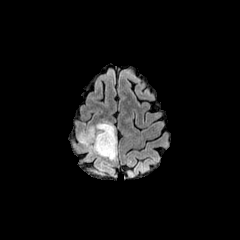
FLAIR magnetic resonance.
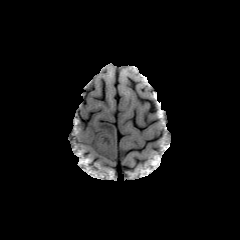
T1-weighted MR image.
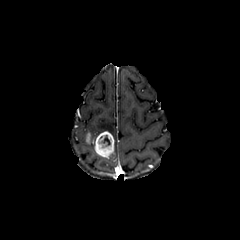
Same slice, post-contrast T1-weighted MRI.
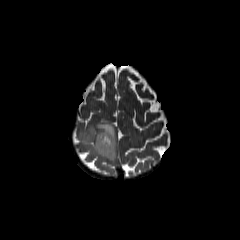
T2-weighted magnetic resonance of the same slice.
Axial slice
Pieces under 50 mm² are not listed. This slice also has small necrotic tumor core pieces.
{
  "peritumoral_edema": [
    "l=88, t=122, r=116, b=159",
    "l=78, t=132, r=97, b=154"
  ],
  "enhancing_tumor": [
    "l=86, t=131, r=114, b=158"
  ]
}